FLAIR MR.
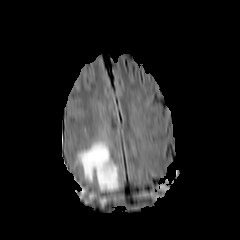
T1-weighted magnetic resonance.
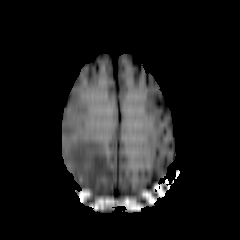
Post-contrast T1-weighted MR.
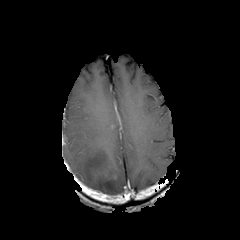
T2-weighted magnetic resonance.
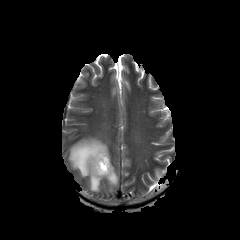
<segmentation>
  <peritumoral_edema>x1=75 y1=138 x2=119 y2=191</peritumoral_edema>
</segmentation>